Brain | 240x240
FLAIR MR image.
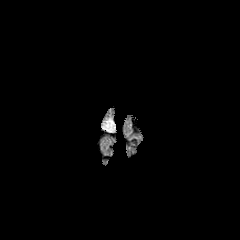
T1-weighted MR image.
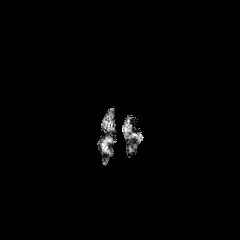
Post-contrast T1-weighted MR image.
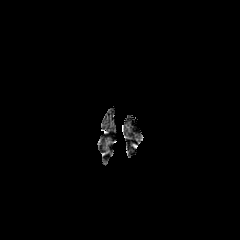
T2-weighted MRI.
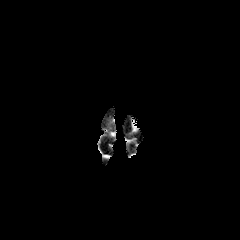
peritumoral edema: {"x1": 103, "y1": 118, "x2": 114, "y2": 132}